FLAIR MR.
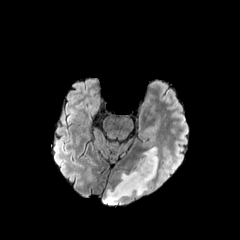
T1-weighted MRI.
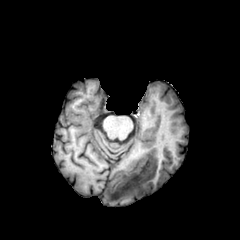
Post-contrast T1-weighted magnetic resonance.
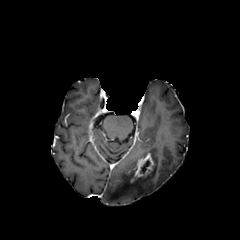
T2-weighted MR.
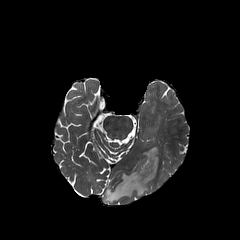
Axial plane
peritumoral_edema:
  - (102,147,158,205)
necrotic_tumor_core:
  - (140,160,150,173)
enhancing_tumor:
  - (131,153,154,181)